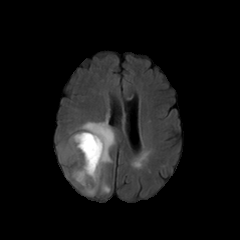
FLAIR MRI.
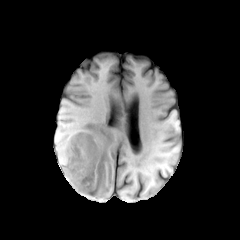
T1-weighted MRI of the same slice.
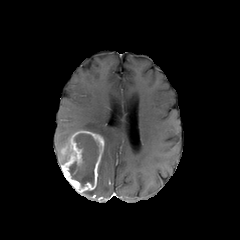
Post-contrast T1-weighted magnetic resonance.
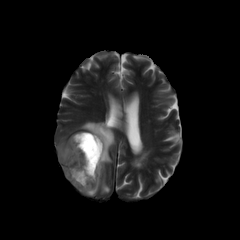
T2-weighted MRI.
Head
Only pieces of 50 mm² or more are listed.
necrotic tumor core: bounding box x1=69, y1=134, x2=98, y2=186
peritumoral edema: bounding box x1=58, y1=141, x2=73, y2=165; x1=76, y1=114, x2=115, y2=196
enhancing tumor: bounding box x1=61, y1=130, x2=104, y2=193